Brain
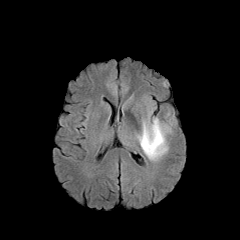
FLAIR MR image.
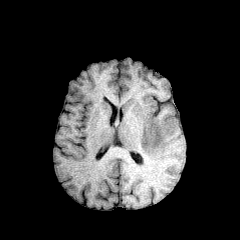
Same slice, T1-weighted magnetic resonance.
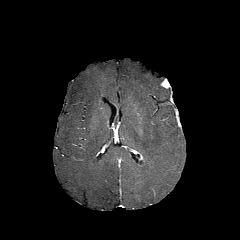
Same slice, post-contrast T1-weighted MR.
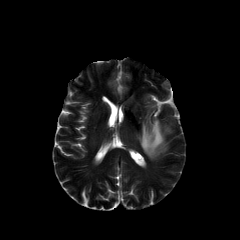
Same slice, T2-weighted MR.
The peritumoral edema appears at region(137, 118, 170, 160).